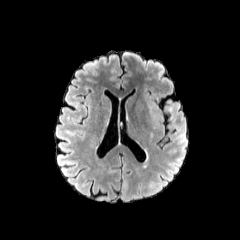
FLAIR MRI.
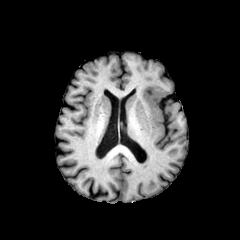
T1-weighted MR of the same slice.
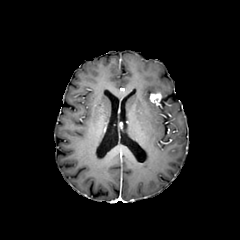
Post-contrast T1-weighted MR image.
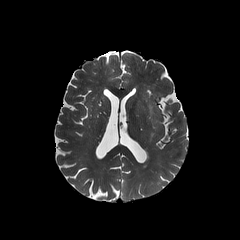
T2-weighted magnetic resonance of the same slice.
Head. Axial view.
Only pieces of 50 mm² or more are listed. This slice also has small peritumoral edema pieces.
The enhancing tumor is bounded by bbox(150, 93, 161, 103).